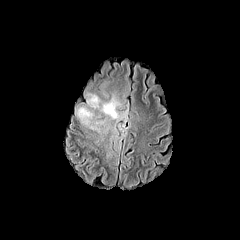
FLAIR magnetic resonance.
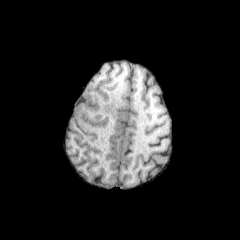
T1-weighted MRI.
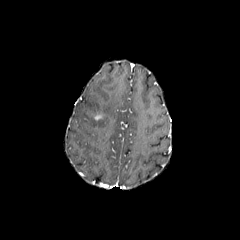
Same slice, post-contrast T1-weighted MR image.
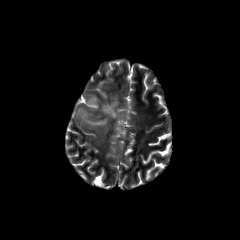
T2-weighted MR.
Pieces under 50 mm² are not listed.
peritumoral_edema:
  - [75, 93, 127, 132]
enhancing_tumor:
  - [93, 114, 102, 120]